Head
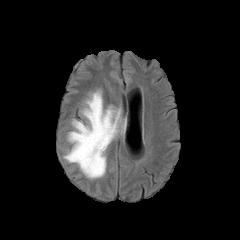
FLAIR MR image.
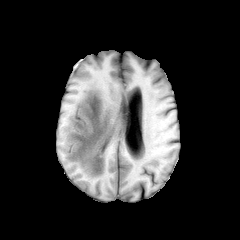
Same slice, T1-weighted MRI.
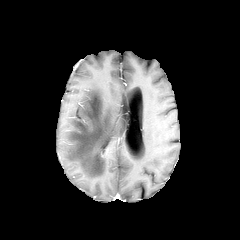
Post-contrast T1-weighted MRI.
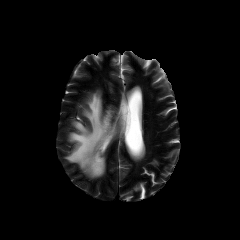
T2-weighted MR image.
The peritumoral edema appears at 64, 90, 126, 178.